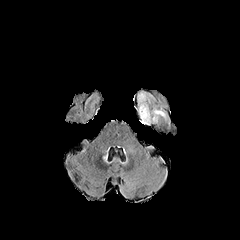
FLAIR MR image.
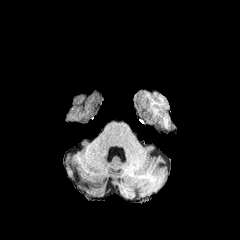
T1-weighted MR image.
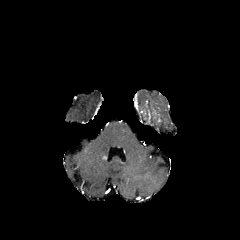
Post-contrast T1-weighted magnetic resonance of the same slice.
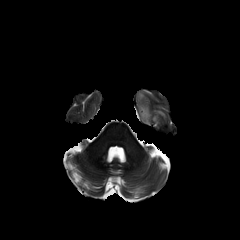
Same slice, T2-weighted MR.
240x240 px; Axial plane
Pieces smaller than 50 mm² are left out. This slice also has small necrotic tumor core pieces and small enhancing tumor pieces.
2 peritumoral edema regions appear at [x1=138, y1=92, x2=150, y2=124], [x1=152, y1=109, x2=166, y2=121].